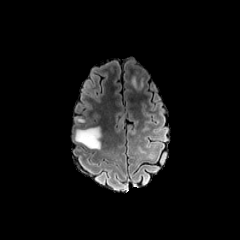
FLAIR MR.
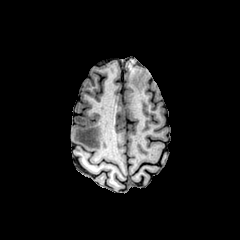
Same slice, T1-weighted MR.
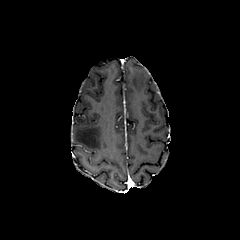
Same slice, post-contrast T1-weighted magnetic resonance.
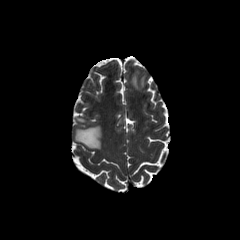
T2-weighted MR.
Head, Axial plane
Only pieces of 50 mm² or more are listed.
peritumoral edema: bounding box rect(132, 78, 143, 89); rect(75, 127, 101, 149)